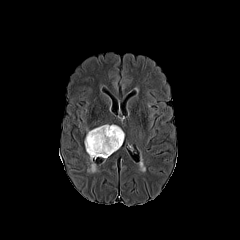
FLAIR magnetic resonance.
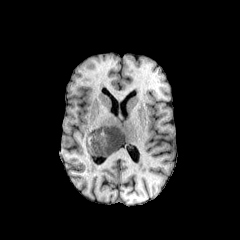
T1-weighted MR image.
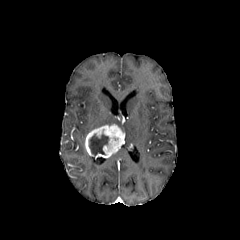
Post-contrast T1-weighted MRI of the same slice.
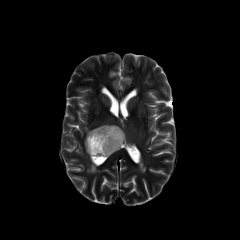
T2-weighted magnetic resonance of the same slice.
Brain | Axial view | Image size 240x240
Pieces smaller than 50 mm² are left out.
Annotated regions:
• necrotic tumor core: left=89, top=134, right=108, bottom=155
• enhancing tumor: left=85, top=124, right=124, bottom=158
• peritumoral edema: left=87, top=156, right=96, bottom=172